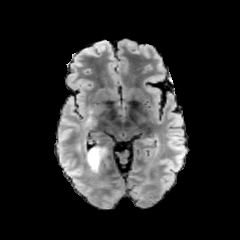
FLAIR MRI.
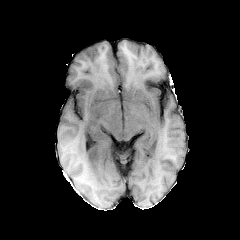
T1-weighted MRI.
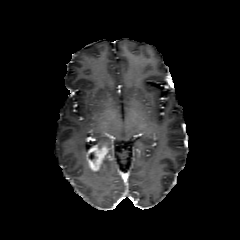
Post-contrast T1-weighted magnetic resonance.
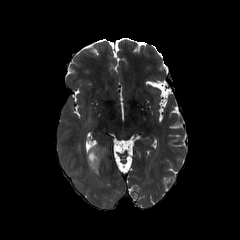
Same slice, T2-weighted MRI.
Axial view
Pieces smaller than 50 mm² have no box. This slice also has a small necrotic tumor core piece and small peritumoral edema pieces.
enhancing tumor: box(86, 144, 109, 172)